Brain, Image width 240 mm, Slice 107 of 155
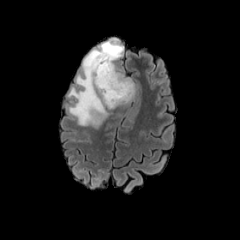
FLAIR MRI.
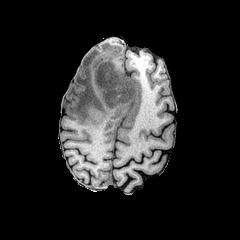
T1-weighted MRI of the same slice.
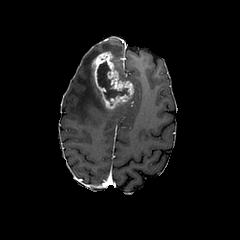
Same slice, post-contrast T1-weighted MR.
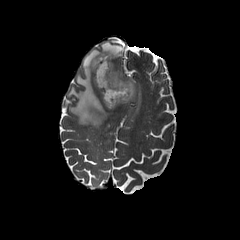
T2-weighted magnetic resonance of the same slice.
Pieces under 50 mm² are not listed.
The largest necrotic tumor core region is located at (97,61,129,102). The enhancing tumor is at (91,52,133,109). The peritumoral edema is bounded by (68,40,135,128).